Axial plane; Image covers 240 mm x 240 mm; Head
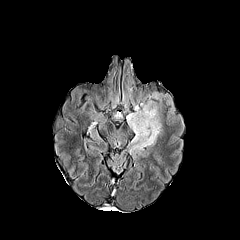
FLAIR MR.
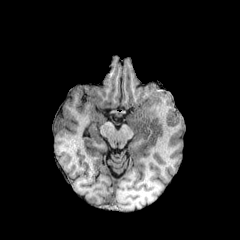
Same slice, T1-weighted MR.
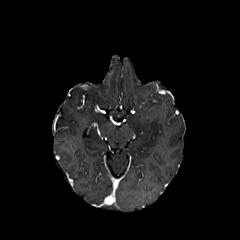
Post-contrast T1-weighted MR image.
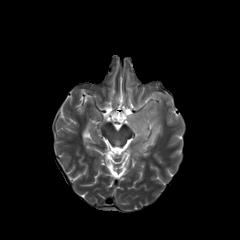
Same slice, T2-weighted magnetic resonance.
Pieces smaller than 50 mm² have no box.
The largest peritumoral edema region appears at 127, 101, 161, 150.